FLAIR MR.
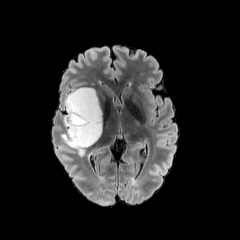
T1-weighted magnetic resonance.
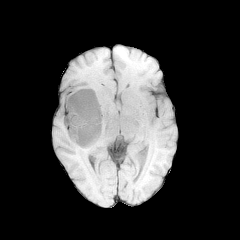
Post-contrast T1-weighted MR.
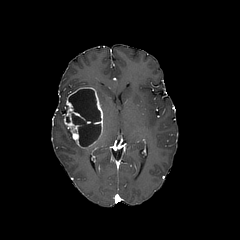
T2-weighted MR image.
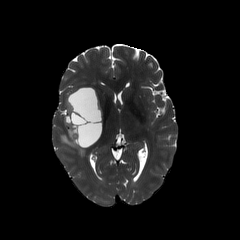
Axial plane
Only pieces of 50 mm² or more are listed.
necrotic tumor core: bbox(68, 89, 101, 146) | enhancing tumor: bbox(64, 87, 102, 148) | peritumoral edema: bbox(61, 129, 85, 155)